Axial plane. Image size 240x240.
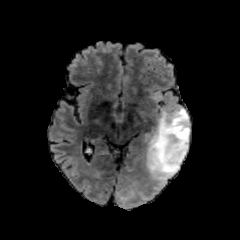
FLAIR magnetic resonance.
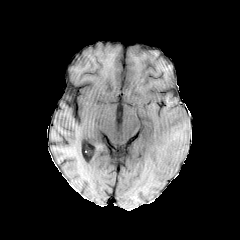
T1-weighted MRI.
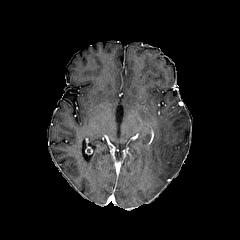
Same slice, post-contrast T1-weighted MRI.
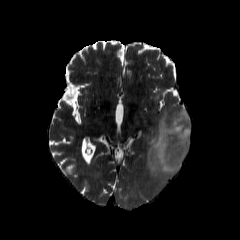
Same slice, T2-weighted MRI.
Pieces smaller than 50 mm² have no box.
Findings:
* peritumoral edema: box(146, 108, 190, 180)